Axial plane.
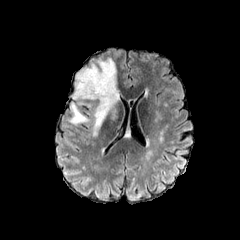
FLAIR magnetic resonance.
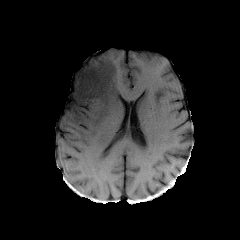
T1-weighted magnetic resonance.
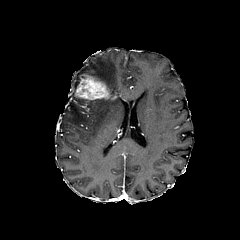
Post-contrast T1-weighted MRI.
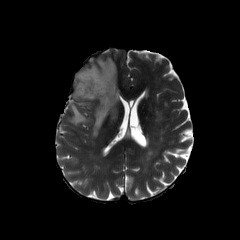
Same slice, T2-weighted MRI.
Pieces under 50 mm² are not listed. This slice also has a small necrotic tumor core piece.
peritumoral_edema:
  - (68, 58, 119, 136)
enhancing_tumor:
  - (74, 73, 116, 104)